Axial view, 240x240 px, Slice index 125, Brain
FLAIR MR image.
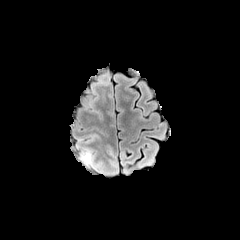
T1-weighted MR.
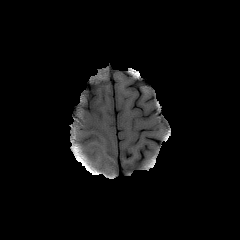
Post-contrast T1-weighted magnetic resonance.
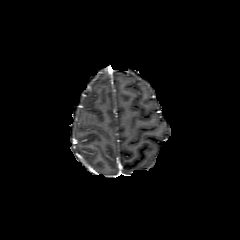
T2-weighted MR.
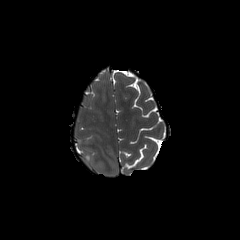
The peritumoral edema is located at [x1=81, y1=151, x2=91, y2=165].